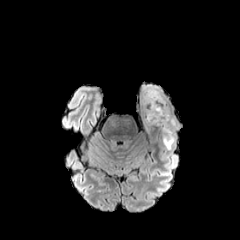
FLAIR MR.
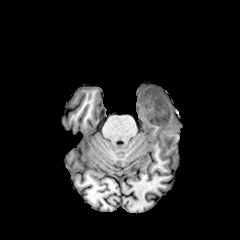
T1-weighted MR.
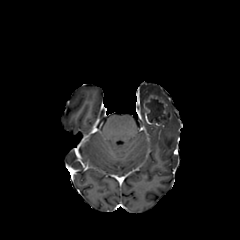
Post-contrast T1-weighted MR.
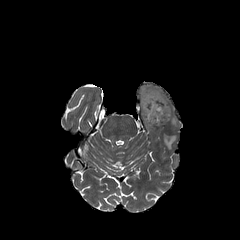
T2-weighted magnetic resonance.
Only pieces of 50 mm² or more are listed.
<segmentation>
  <necrotic_tumor_core><bbox>146, 98, 166, 123</bbox></necrotic_tumor_core>
  <enhancing_tumor><bbox>142, 93, 170, 125</bbox></enhancing_tumor>
  <peritumoral_edema><bbox>140, 85, 167, 108</bbox>, <bbox>163, 134, 175, 149</bbox>, <bbox>160, 105, 178, 129</bbox></peritumoral_edema>
</segmentation>